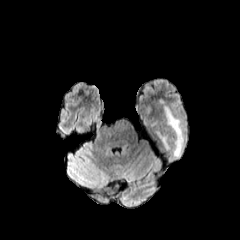
FLAIR magnetic resonance.
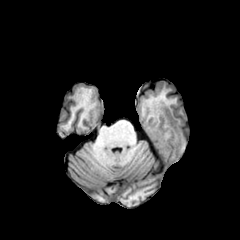
T1-weighted MR image.
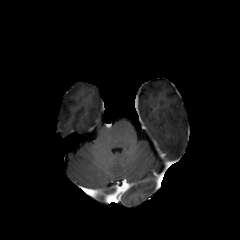
Post-contrast T1-weighted MR image.
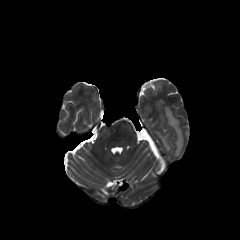
Same slice, T2-weighted magnetic resonance.
Axial slice
peritumoral edema: bounding box bbox(163, 106, 184, 157); bbox(156, 132, 169, 150)